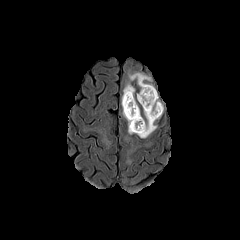
FLAIR MR image.
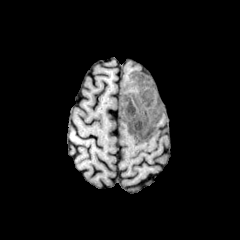
T1-weighted MR image of the same slice.
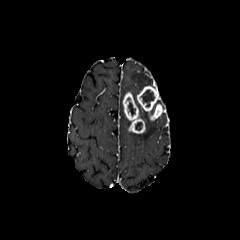
Post-contrast T1-weighted magnetic resonance.
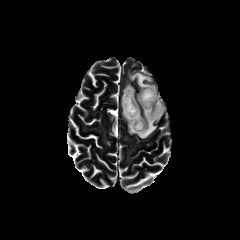
T2-weighted MR image of the same slice.
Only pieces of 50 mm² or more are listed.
necrotic tumor core: (135,122,142,130), (141,90,154,106), (128,102,135,115) | enhancing tumor: (122,92,145,133), (137,86,163,120) | peritumoral edema: (121,72,157,138)